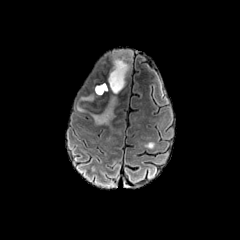
FLAIR MRI.
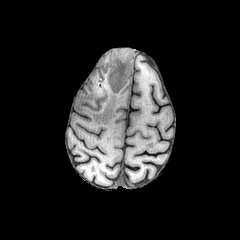
T1-weighted MRI.
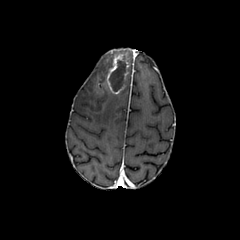
Post-contrast T1-weighted MR image.
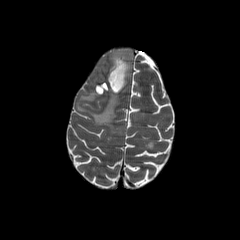
T2-weighted MRI.
240x240. Head.
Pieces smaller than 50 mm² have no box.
peritumoral edema: rect(79, 94, 94, 101); rect(95, 81, 109, 95); rect(90, 94, 120, 124)
enhancing tumor: rect(106, 50, 130, 94)
necrotic tumor core: rect(109, 60, 126, 91)